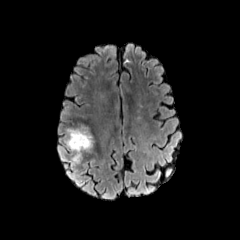
FLAIR MRI.
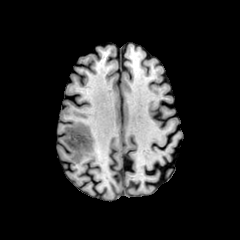
T1-weighted MR.
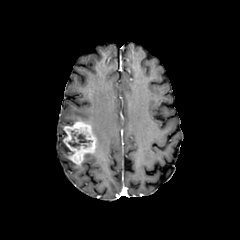
Post-contrast T1-weighted MR image.
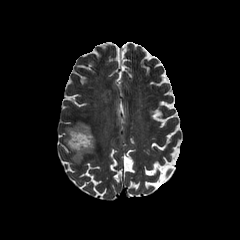
T2-weighted magnetic resonance.
Brain
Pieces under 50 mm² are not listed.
{
  "necrotic_tumor_core": [
    "68:130:92:147"
  ],
  "enhancing_tumor": [
    "63:121:96:164"
  ]
}